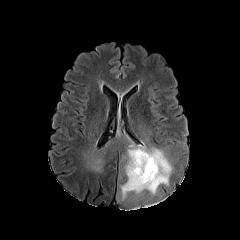
FLAIR MRI.
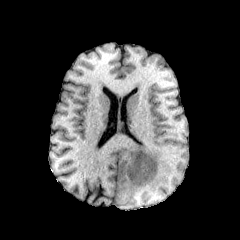
Same slice, T1-weighted MR image.
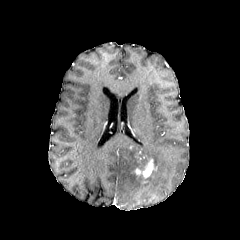
Post-contrast T1-weighted MR image.
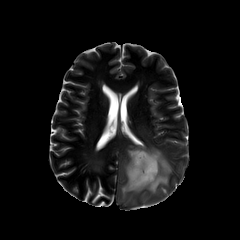
T2-weighted MR image of the same slice.
240x240
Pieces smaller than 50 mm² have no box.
The largest necrotic tumor core region is at region(131, 152, 155, 182). The peritumoral edema appears at region(120, 144, 172, 199). The largest enhancing tumor region appears at region(134, 158, 156, 178).